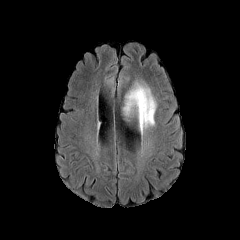
FLAIR MR image.
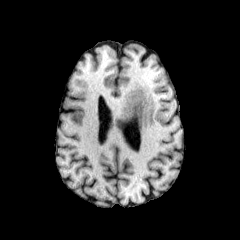
T1-weighted MR.
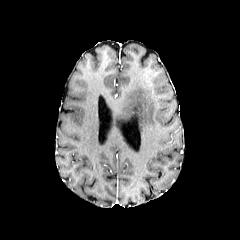
Post-contrast T1-weighted MRI of the same slice.
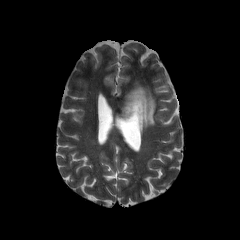
T2-weighted MR of the same slice.
Axial plane, Head
{
  "peritumoral_edema": [
    "rect(124, 83, 155, 132)"
  ]
}